FLAIR MR.
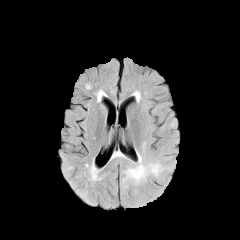
T1-weighted MR image.
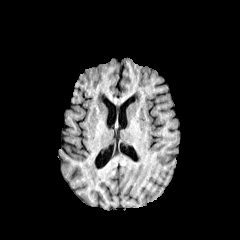
Post-contrast T1-weighted MRI.
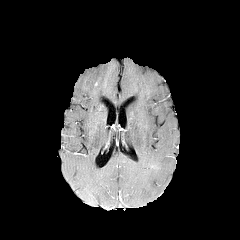
T2-weighted magnetic resonance.
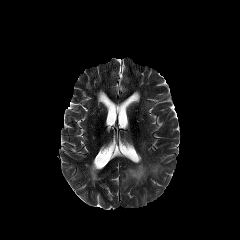
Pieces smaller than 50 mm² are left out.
<segmentation>
  <peritumoral_edema>123,153,165,184</peritumoral_edema>
</segmentation>